FLAIR magnetic resonance.
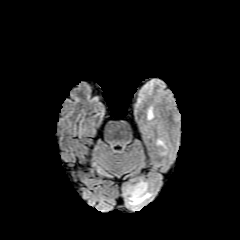
T1-weighted MR image.
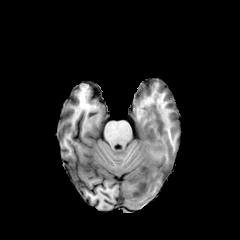
Post-contrast T1-weighted magnetic resonance.
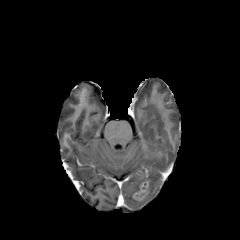
T2-weighted MR image.
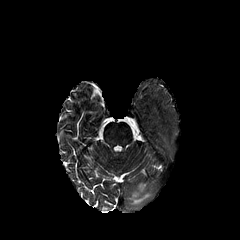
Head
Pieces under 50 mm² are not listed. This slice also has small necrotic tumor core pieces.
enhancing tumor: (133, 181, 148, 200)
peritumoral edema: (126, 180, 153, 209)